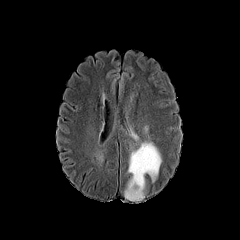
FLAIR MR image.
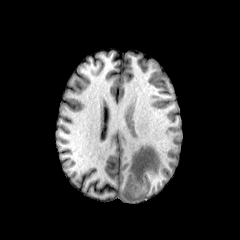
T1-weighted MR image of the same slice.
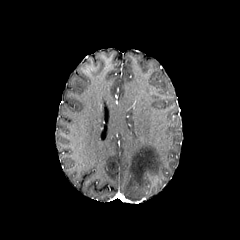
Post-contrast T1-weighted MR image of the same slice.
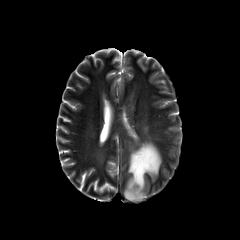
T2-weighted MR of the same slice.
Image size 240x240. Axial slice.
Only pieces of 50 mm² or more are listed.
Segmented structures:
- peritumoral edema: (x1=128, y1=128, x2=138, y2=140), (x1=124, y1=140, x2=161, y2=200)